FLAIR MR image.
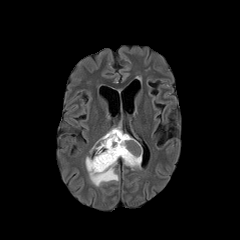
T1-weighted magnetic resonance.
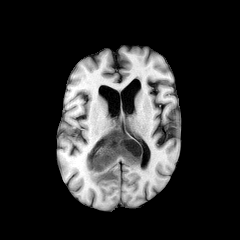
Post-contrast T1-weighted MRI.
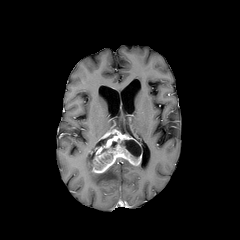
T2-weighted MR image.
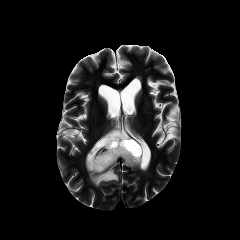
Head, Axial plane
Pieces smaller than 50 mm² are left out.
Segmented structures:
• enhancing tumor: <bbox>86, 129, 142, 173</bbox>
• peritumoral edema: <bbox>123, 159, 140, 169</bbox>, <bbox>111, 120, 122, 132</bbox>, <bbox>85, 159, 119, 186</bbox>
• necrotic tumor core: <bbox>96, 135, 113, 146</bbox>, <bbox>87, 151, 95, 165</bbox>, <bbox>120, 140, 141, 158</bbox>